Slice 88/155, Image covers 240 mm x 240 mm, Brain
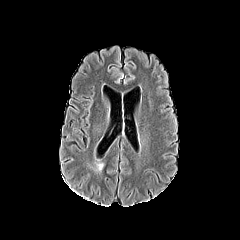
FLAIR MR image.
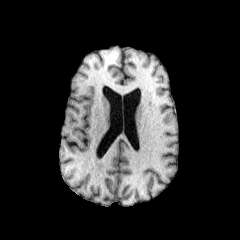
T1-weighted MR image of the same slice.
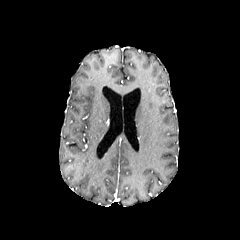
Same slice, post-contrast T1-weighted MR image.
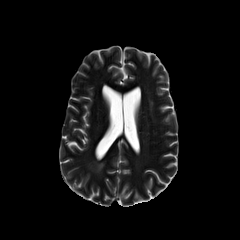
T2-weighted magnetic resonance.
peritumoral edema: 96 163 103 171